Slice 37 of 155. Image width 240 mm.
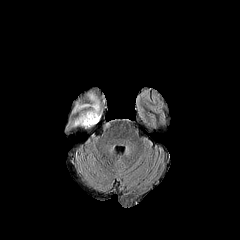
FLAIR MRI.
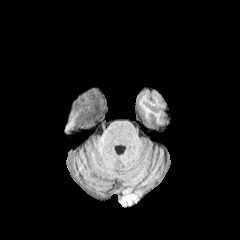
Same slice, T1-weighted MR.
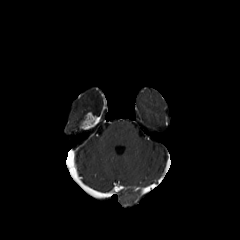
Post-contrast T1-weighted MR image.
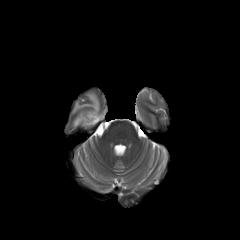
Same slice, T2-weighted magnetic resonance.
<segmentation>
  <peritumoral_edema>(73,93,99,125)</peritumoral_edema>
  <enhancing_tumor>(80,112,100,129)</enhancing_tumor>
</segmentation>